Axial plane; Image covers 240 mm x 240 mm
FLAIR MR image.
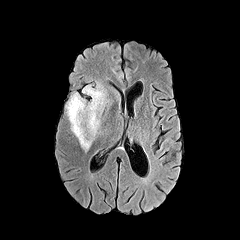
T1-weighted MR image.
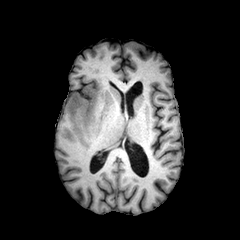
Post-contrast T1-weighted magnetic resonance.
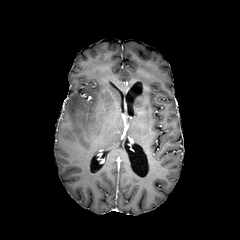
T2-weighted MR image.
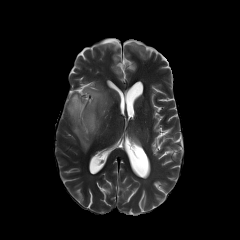
Annotated regions:
• peritumoral edema: x1=66, y1=84, x2=106, y2=150